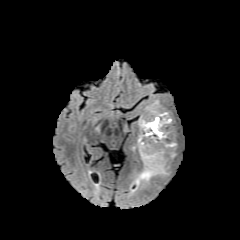
FLAIR MR image.
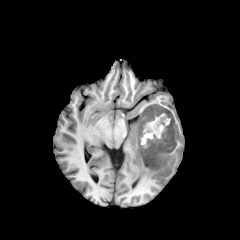
T1-weighted magnetic resonance of the same slice.
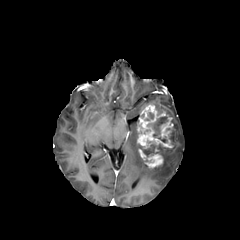
Post-contrast T1-weighted MR.
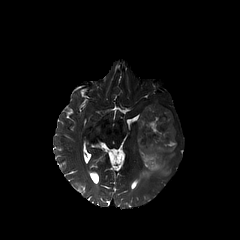
T2-weighted MR.
Image size 240x240. Axial slice.
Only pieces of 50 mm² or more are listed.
necrotic tumor core = <bbox>147, 116, 168, 142</bbox>, <bbox>169, 128, 174, 145</bbox>, <bbox>141, 141, 171, 156</bbox>
enhancing tumor = <bbox>137, 104, 173, 168</bbox>
peritumoral edema = <bbox>137, 141, 176, 184</bbox>